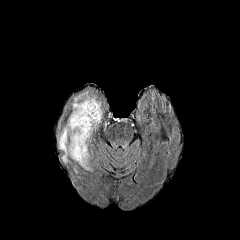
FLAIR MR.
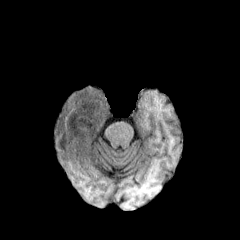
T1-weighted MRI.
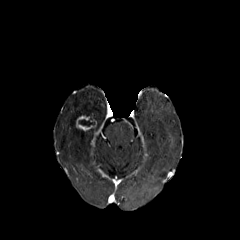
Same slice, post-contrast T1-weighted MRI.
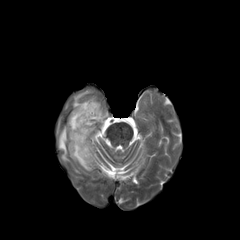
T2-weighted MR.
Image size 240x240 | Brain
enhancing_tumor:
  - (left=76, top=115, right=96, bottom=130)
peritumoral_edema:
  - (left=58, top=91, right=103, bottom=170)
necrotic_tumor_core:
  - (left=79, top=117, right=94, bottom=126)